240x240 px. Brain.
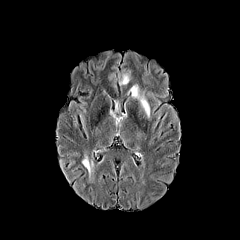
FLAIR MR image.
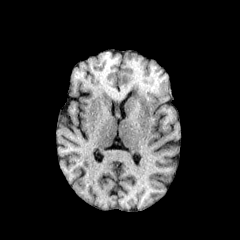
Same slice, T1-weighted magnetic resonance.
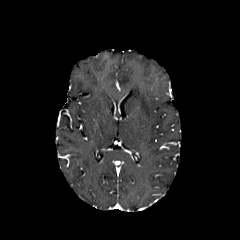
Post-contrast T1-weighted MRI.
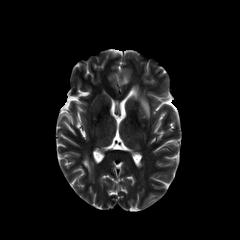
T2-weighted magnetic resonance.
peritumoral edema at 118 69 131 86, 80 153 90 173, 126 84 149 119